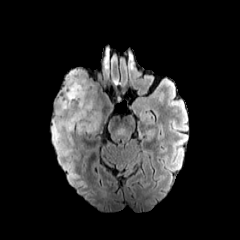
FLAIR MR image.
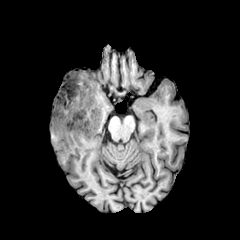
T1-weighted MRI.
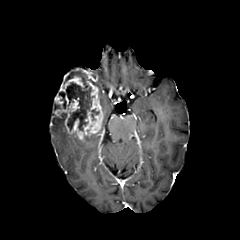
Post-contrast T1-weighted MR of the same slice.
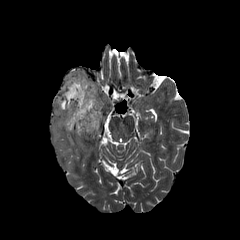
T2-weighted magnetic resonance.
Axial view. Head. 240x240.
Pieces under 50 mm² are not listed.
necrotic tumor core = {"x1": 59, "y1": 79, "x2": 93, "y2": 130}
peritumoral edema = {"x1": 51, "y1": 113, "x2": 71, "y2": 155}, {"x1": 65, "y1": 71, "x2": 87, "y2": 82}
enhancing tumor = {"x1": 59, "y1": 76, "x2": 84, "y2": 92}, {"x1": 54, "y1": 79, "x2": 103, "y2": 139}